Axial view, Image size 240x240, Head
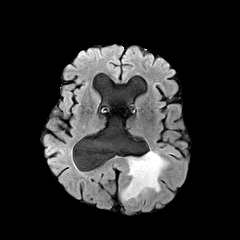
FLAIR MR image.
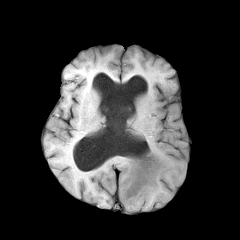
T1-weighted MR.
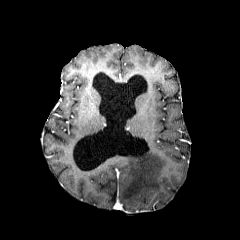
Post-contrast T1-weighted MR image.
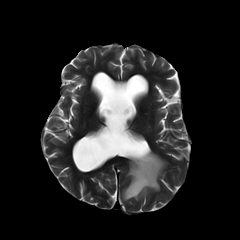
T2-weighted MR image.
peritumoral edema: (x1=121, y1=150, x2=168, y2=201)